Slice index 101, Axial plane, Image width 240 mm, 1.00 mm slice spacing
FLAIR magnetic resonance.
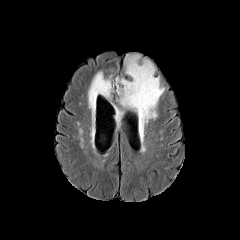
T1-weighted MR image.
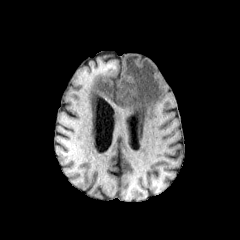
Post-contrast T1-weighted magnetic resonance.
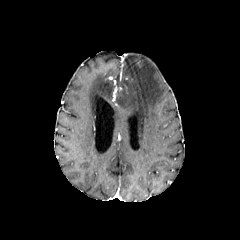
T2-weighted MRI.
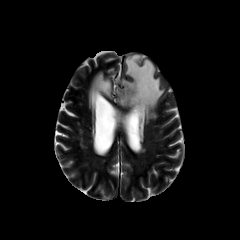
peritumoral edema: bounding box (117,54,164,127), (88,70,111,108)